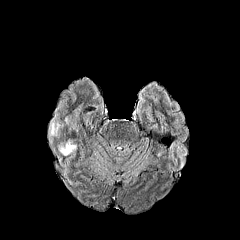
FLAIR MR image.
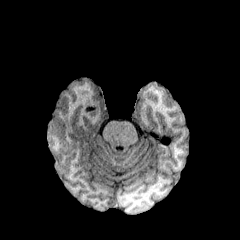
T1-weighted MR image of the same slice.
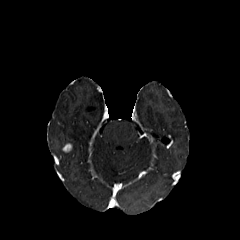
Post-contrast T1-weighted MR image.
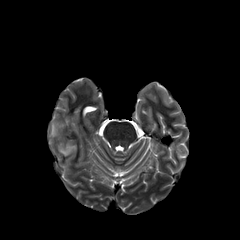
Same slice, T2-weighted MR.
Brain; 240x240 px
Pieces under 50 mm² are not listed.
{"enhancing_tumor": ["(left=62, top=143, right=72, bottom=152)"], "peritumoral_edema": ["(left=58, top=143, right=76, bottom=155)", "(left=49, top=121, right=60, bottom=136)"]}